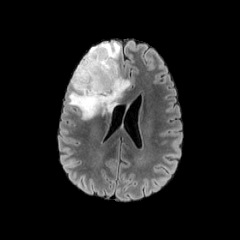
FLAIR magnetic resonance.
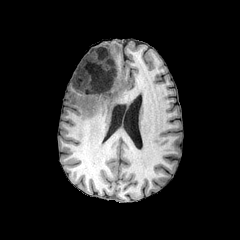
T1-weighted MRI.
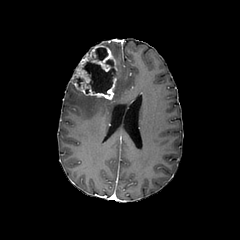
Post-contrast T1-weighted MR.
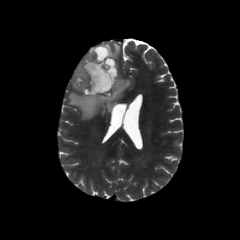
T2-weighted magnetic resonance of the same slice.
240x240, Brain
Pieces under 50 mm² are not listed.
<segmentation>
  <peritumoral_edema>region(101, 42, 120, 61); region(68, 62, 130, 119)</peritumoral_edema>
  <necrotic_tumor_core>region(92, 47, 108, 60); region(82, 59, 115, 94)</necrotic_tumor_core>
  <enhancing_tumor>region(71, 44, 117, 99)</enhancing_tumor>
</segmentation>